FLAIR MRI.
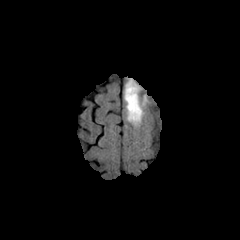
T1-weighted MRI.
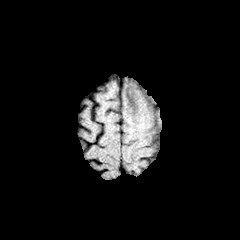
Post-contrast T1-weighted MRI.
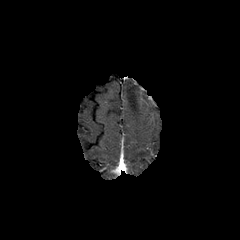
T2-weighted MR image.
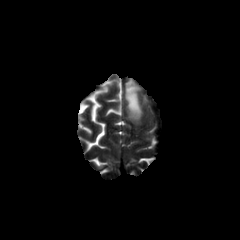
Axial plane. Head.
peritumoral edema at x1=125 y1=79 x2=142 y2=124